FLAIR magnetic resonance.
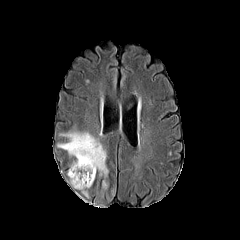
T1-weighted MR image.
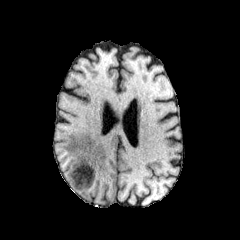
Post-contrast T1-weighted MR image.
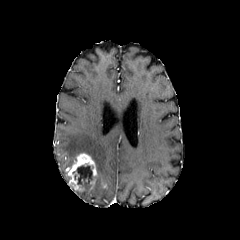
T2-weighted MR image.
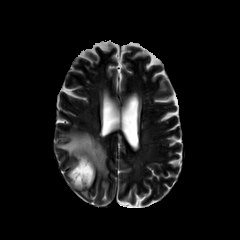
240x240; Brain
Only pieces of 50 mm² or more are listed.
{"enhancing_tumor": ["(left=67, top=153, right=97, bottom=190)"], "peritumoral_edema": ["(left=100, top=180, right=108, bottom=197)", "(left=58, top=125, right=108, bottom=178)"], "necrotic_tumor_core": ["(left=76, top=166, right=92, bottom=186)"]}